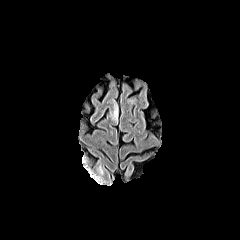
FLAIR MR image.
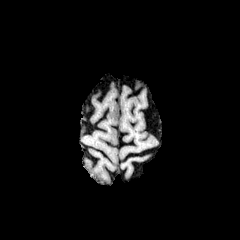
Same slice, T1-weighted MR image.
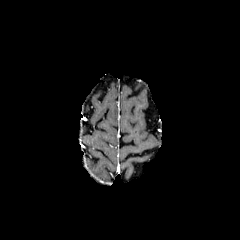
Post-contrast T1-weighted magnetic resonance.
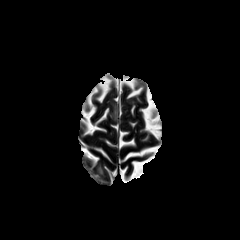
T2-weighted magnetic resonance.
Axial view, Head
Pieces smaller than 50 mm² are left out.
peritumoral_edema:
  - region(109, 97, 118, 123)